Image covers 240 mm x 240 mm. Head. 240x240.
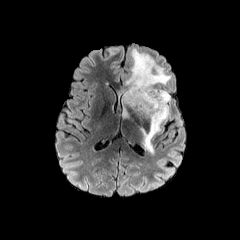
FLAIR MR image.
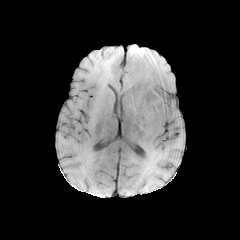
Same slice, T1-weighted MRI.
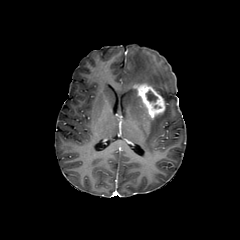
Post-contrast T1-weighted MR of the same slice.
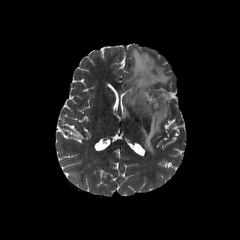
T2-weighted MR of the same slice.
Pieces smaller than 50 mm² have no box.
necrotic tumor core — [146, 90, 157, 101]
enhancing tumor — [133, 83, 165, 119]
peritumoral edema — [140, 89, 170, 154], [118, 49, 171, 118]